Axial slice | 240x240 px | Head | Slice 76/155
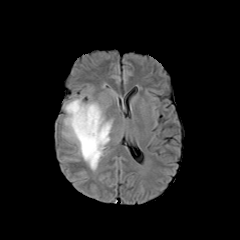
FLAIR magnetic resonance.
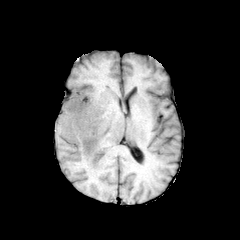
Same slice, T1-weighted MR.
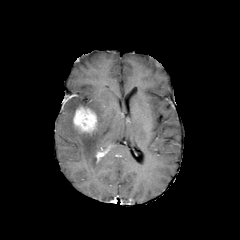
Post-contrast T1-weighted MRI.
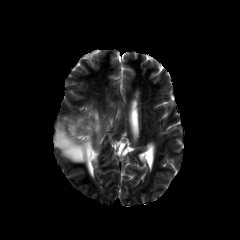
T2-weighted MR image of the same slice.
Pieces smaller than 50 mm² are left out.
enhancing tumor at (left=73, top=106, right=97, bottom=133)
peritumoral edema at (left=61, top=98, right=113, bottom=170)